FLAIR MRI.
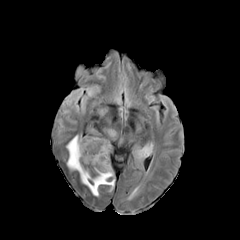
T1-weighted MRI.
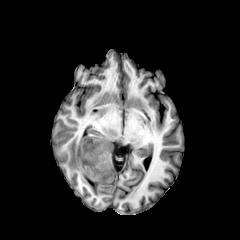
Post-contrast T1-weighted MRI.
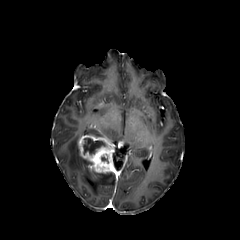
T2-weighted magnetic resonance.
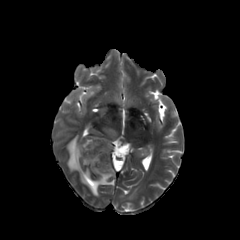
240x240, Axial view, Brain
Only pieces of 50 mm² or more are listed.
{"enhancing_tumor": ["x1=78, y1=135, x2=113, y2=173"], "necrotic_tumor_core": ["x1=83, y1=138, x2=105, y2=153"], "peritumoral_edema": ["x1=67, y1=135, x2=114, y2=196", "x1=137, y1=150, x2=148, y2=156"]}